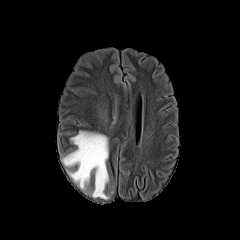
FLAIR magnetic resonance.
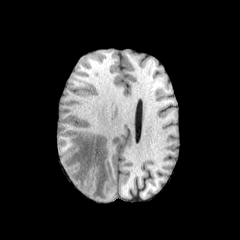
T1-weighted magnetic resonance.
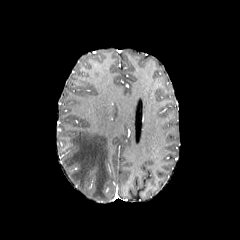
Post-contrast T1-weighted magnetic resonance.
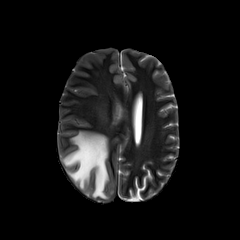
T2-weighted MR image.
Head
peritumoral_edema:
  - (left=63, top=131, right=108, bottom=199)